FLAIR magnetic resonance.
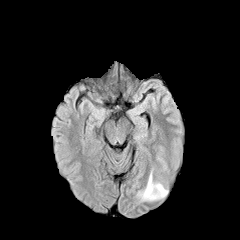
T1-weighted MRI.
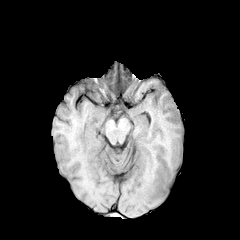
Post-contrast T1-weighted MR image.
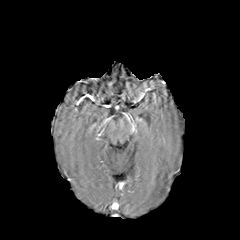
T2-weighted MR image.
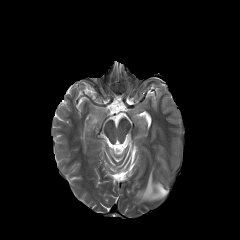
Axial view
peritumoral edema: x1=138, y1=173, x2=167, y2=200